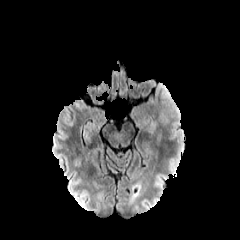
FLAIR MR image.
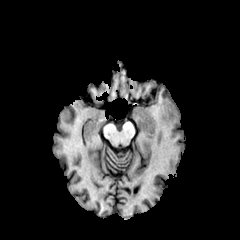
Same slice, T1-weighted MR.
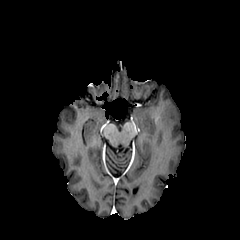
Post-contrast T1-weighted magnetic resonance of the same slice.
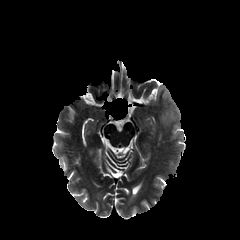
T2-weighted MR of the same slice.
The peritumoral edema is at region(157, 89, 179, 131).